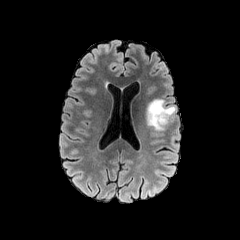
FLAIR MRI.
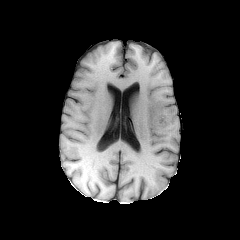
Same slice, T1-weighted MR.
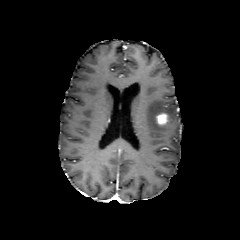
Same slice, post-contrast T1-weighted MR.
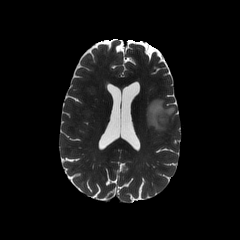
T2-weighted MRI of the same slice.
240x240
- peritumoral edema: region(147, 99, 175, 131)
- enhancing tumor: region(156, 113, 168, 125)